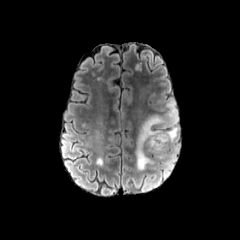
FLAIR MR.
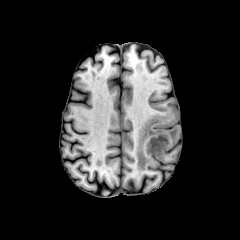
T1-weighted MRI of the same slice.
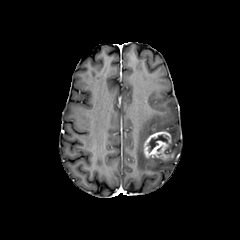
Same slice, post-contrast T1-weighted MR.
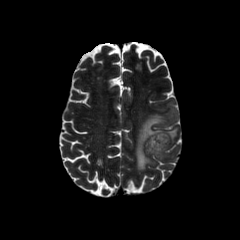
T2-weighted MR image.
240x240 px
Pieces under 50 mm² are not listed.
Segmented structures:
• necrotic tumor core: region(148, 134, 167, 151)
• enhancing tumor: region(144, 131, 173, 158)
• peritumoral edema: region(135, 100, 178, 170); region(169, 145, 179, 161)